FLAIR MR image.
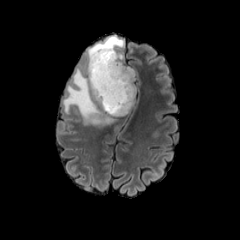
T1-weighted MRI.
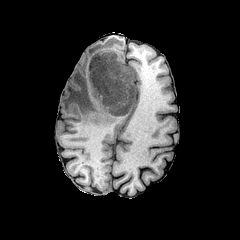
Post-contrast T1-weighted magnetic resonance.
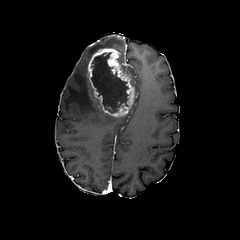
T2-weighted MR.
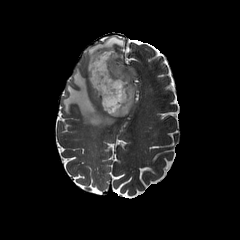
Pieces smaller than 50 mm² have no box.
peritumoral edema = {"x1": 118, "y1": 51, "x2": 134, "y2": 86}, {"x1": 63, "y1": 36, "x2": 124, "y2": 125}
necrotic tumor core = {"x1": 91, "y1": 52, "x2": 129, "y2": 113}
enhancing tumor = {"x1": 87, "y1": 48, "x2": 134, "y2": 116}